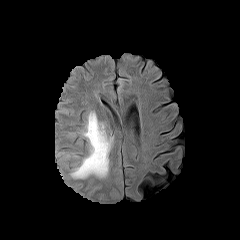
FLAIR MR.
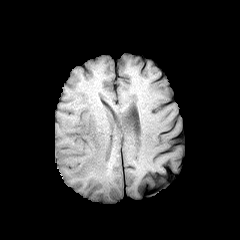
T1-weighted MR image.
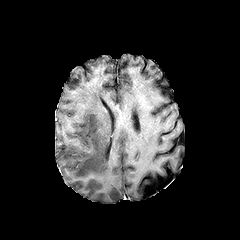
Post-contrast T1-weighted MR image of the same slice.
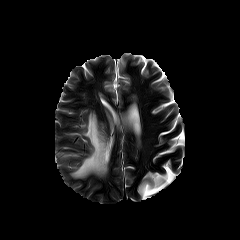
T2-weighted magnetic resonance.
Head | Axial view
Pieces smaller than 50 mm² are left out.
{"peritumoral_edema": ["70 112 113 178"]}